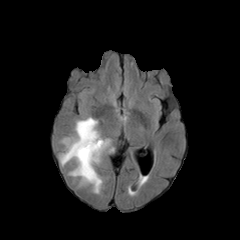
FLAIR MR.
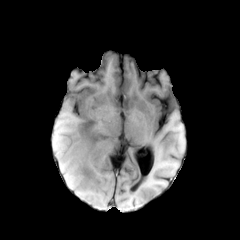
T1-weighted MR of the same slice.
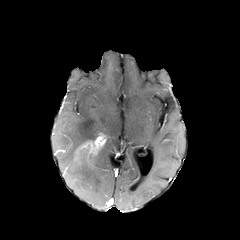
Post-contrast T1-weighted MR image.
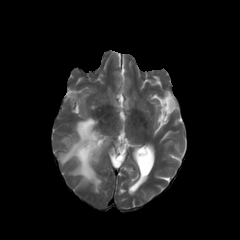
T2-weighted magnetic resonance.
Axial plane, Brain
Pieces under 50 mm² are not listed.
Annotated regions:
* peritumoral edema: [x1=59, y1=117, x2=110, y2=193]
* enhancing tumor: [x1=75, y1=134, x2=106, y2=163]